FLAIR MRI.
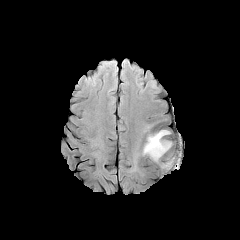
T1-weighted magnetic resonance.
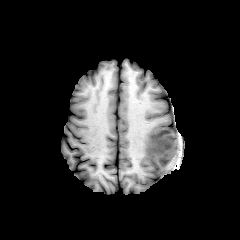
Post-contrast T1-weighted MRI.
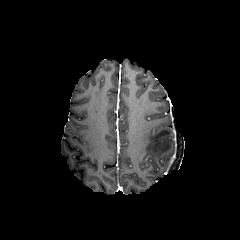
T2-weighted MRI.
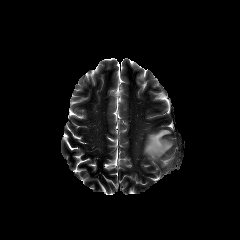
240x240; Brain
The peritumoral edema lies within 143,130,171,160.